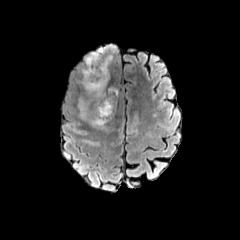
FLAIR MR.
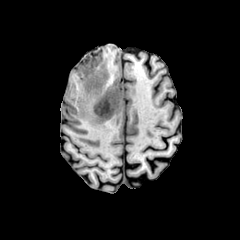
T1-weighted MRI of the same slice.
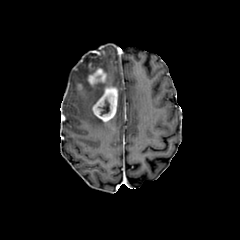
Post-contrast T1-weighted magnetic resonance.
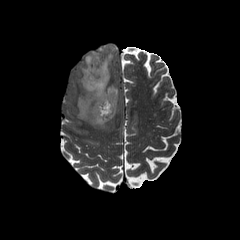
T2-weighted MR image.
Head
{"enhancing_tumor": ["box=[88, 68, 107, 88]", "box=[92, 86, 118, 121]"], "peritumoral_edema": ["box=[78, 99, 89, 119]", "box=[90, 116, 106, 126]", "box=[81, 48, 112, 102]"], "necrotic_tumor_core": ["box=[101, 100, 109, 115]"]}